FLAIR MR.
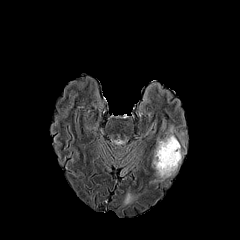
T1-weighted MRI.
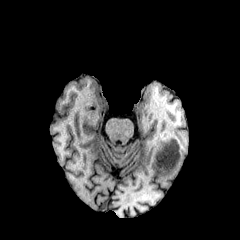
Post-contrast T1-weighted magnetic resonance.
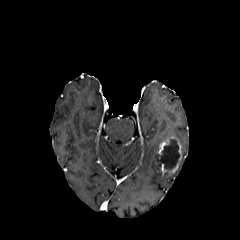
T2-weighted MRI.
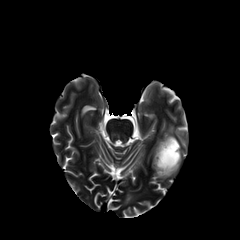
Axial slice.
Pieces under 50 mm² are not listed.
2 peritumoral edema regions appear at left=152, top=134, right=172, bottom=179; left=123, top=192, right=132, bottom=203. The largest necrotic tumor core region lies within left=156, top=139, right=179, bottom=169. 2 enhancing tumor regions are located at left=157, top=136, right=175, bottom=154; left=161, top=140, right=181, bottom=175.